Axial plane, Slice 53/155
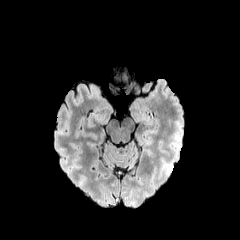
FLAIR MR.
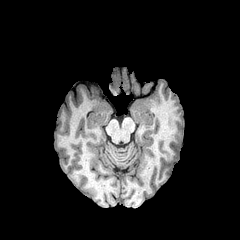
T1-weighted MR image of the same slice.
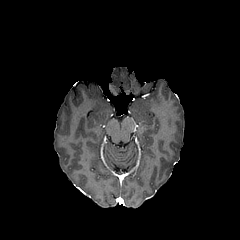
Post-contrast T1-weighted MR.
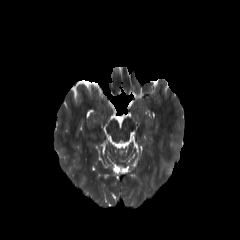
Same slice, T2-weighted magnetic resonance.
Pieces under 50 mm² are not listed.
{"peritumoral_edema": ["<box>161,135,181,175</box>"]}